240x240, Image covers 240 mm x 240 mm, Slice 94 of 155
FLAIR magnetic resonance.
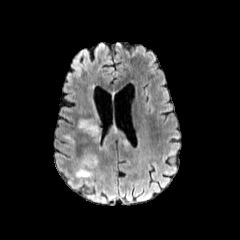
T1-weighted MRI.
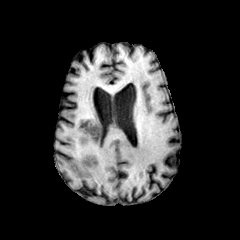
Post-contrast T1-weighted MR image.
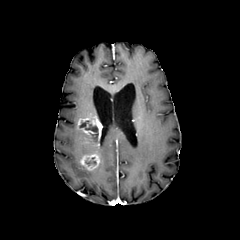
T2-weighted MR.
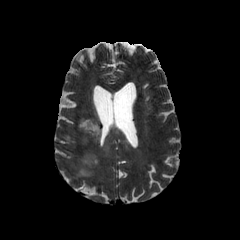
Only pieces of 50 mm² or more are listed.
peritumoral_edema:
  - x1=73, y1=159, x2=93, y2=177
  - x1=99, y1=122, x2=130, y2=150
enhancing_tumor:
  - x1=77, y1=115, x2=100, y2=170
necrotic_tumor_core:
  - x1=80, y1=121, x2=98, y2=137